Image width 240 mm, Slice 59 of 155
FLAIR MR.
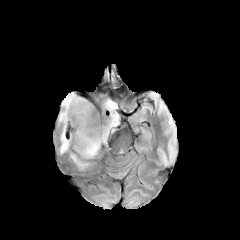
T1-weighted MR image.
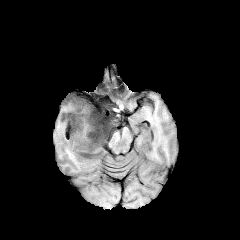
Post-contrast T1-weighted magnetic resonance.
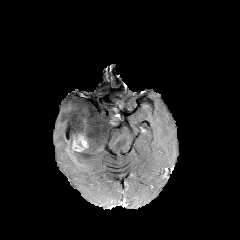
T2-weighted MRI.
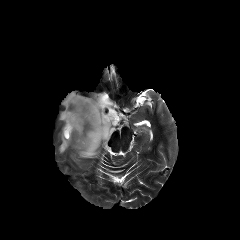
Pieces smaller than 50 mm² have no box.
peritumoral edema — (58,92,119,169)
enhancing tumor — (65,123,72,142), (72,135,87,151)
necrotic tumor core — (66,126,70,140)